FLAIR MR.
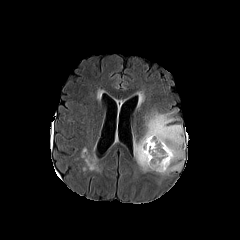
T1-weighted MR image.
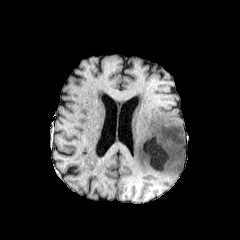
Post-contrast T1-weighted MRI.
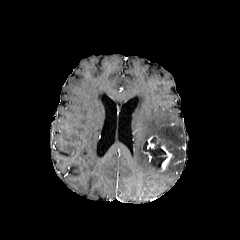
T2-weighted MR image.
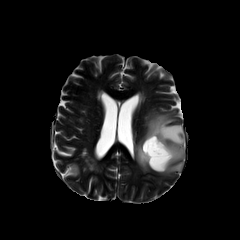
Image size 240x240. Brain.
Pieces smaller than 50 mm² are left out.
The largest peritumoral edema region lies within rect(134, 111, 184, 175). The 2 largest enhancing tumor regions appear at rect(147, 136, 154, 149); rect(160, 144, 172, 171). The necrotic tumor core is bounded by rect(145, 136, 167, 170).